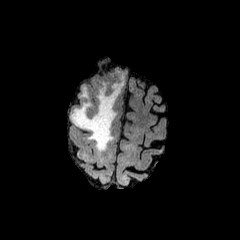
FLAIR MRI.
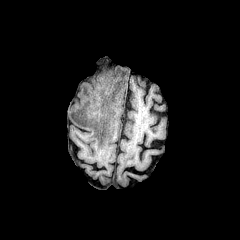
Same slice, T1-weighted magnetic resonance.
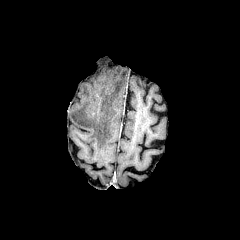
Post-contrast T1-weighted MR.
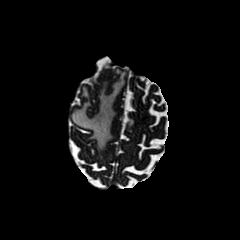
T2-weighted MR.
Axial slice
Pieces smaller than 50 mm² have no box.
Segmented structures:
- peritumoral edema: bbox(70, 74, 124, 151)